240x240 | Head
FLAIR magnetic resonance.
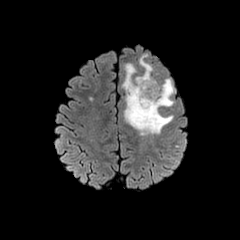
T1-weighted MR.
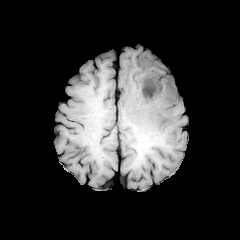
Post-contrast T1-weighted MR.
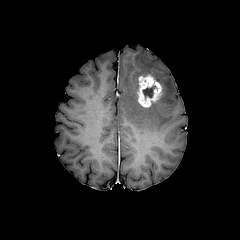
T2-weighted magnetic resonance.
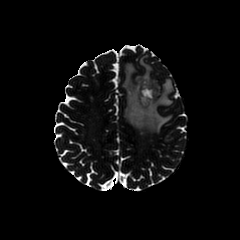
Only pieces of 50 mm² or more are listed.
Annotated regions:
* enhancing tumor: x1=137 y1=74 x2=162 y2=107
* necrotic tumor core: x1=143 y1=86 x2=155 y2=97
* peritumoral edema: x1=122 y1=55 x2=174 y2=135